FLAIR MRI.
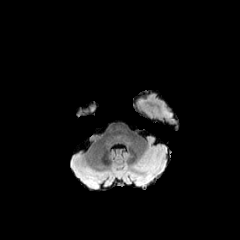
T1-weighted MR.
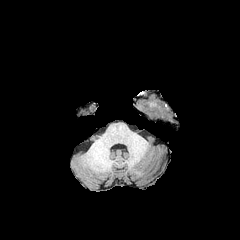
Post-contrast T1-weighted MR image.
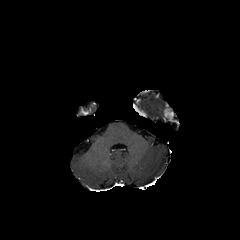
T2-weighted magnetic resonance.
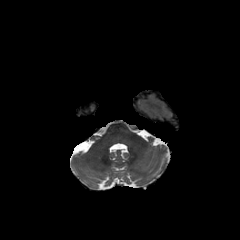
The enhancing tumor is bounded by <box>163,108,173,119</box>.